Axial plane, Image covers 240 mm x 240 mm, Image size 240x240
FLAIR MRI.
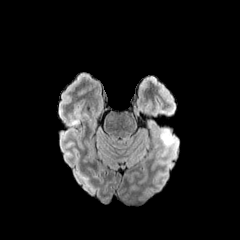
T1-weighted MRI.
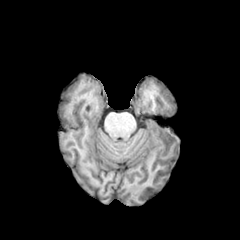
Post-contrast T1-weighted magnetic resonance.
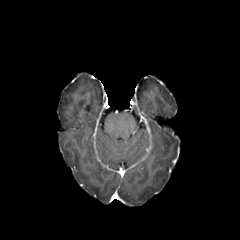
T2-weighted MR image.
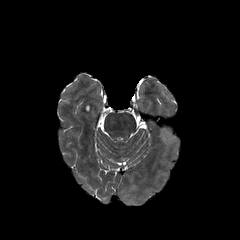
<segmentation>
  <peritumoral_edema>160, 129, 176, 146</peritumoral_edema>
</segmentation>